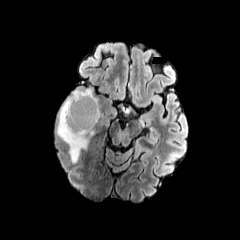
FLAIR MR image.
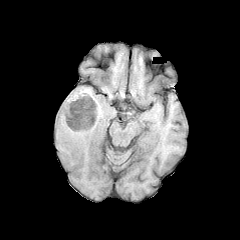
T1-weighted MR image.
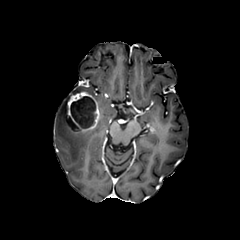
Post-contrast T1-weighted magnetic resonance of the same slice.
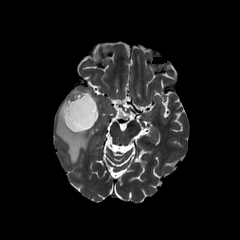
T2-weighted magnetic resonance.
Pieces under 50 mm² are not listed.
peritumoral edema: box(56, 87, 98, 162) | enhancing tumor: box(65, 92, 99, 132) | necrotic tumor core: box(70, 96, 96, 128); box(67, 116, 80, 130)